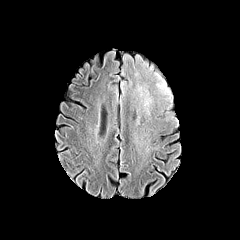
FLAIR MRI.
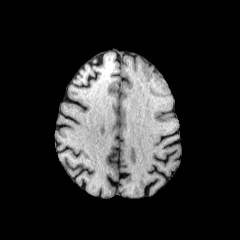
Same slice, T1-weighted MRI.
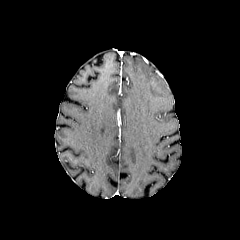
Post-contrast T1-weighted MR.
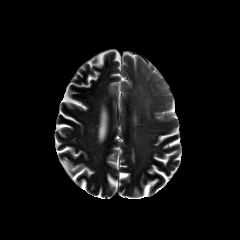
T2-weighted MR.
Axial plane. Head.
peritumoral edema: bbox=[155, 74, 168, 92]; bbox=[144, 82, 150, 107]